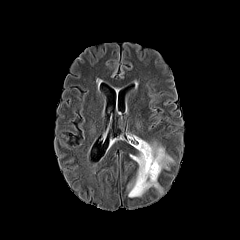
FLAIR MR image.
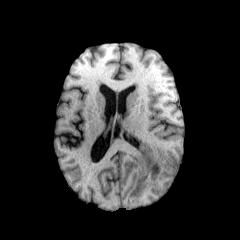
T1-weighted magnetic resonance of the same slice.
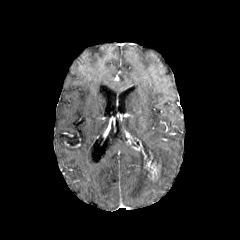
Post-contrast T1-weighted MR image.
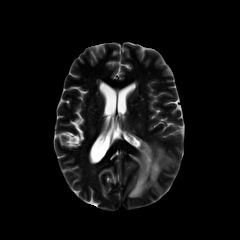
T2-weighted magnetic resonance.
Brain, 240x240
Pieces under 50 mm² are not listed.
{"peritumoral_edema": ["[125, 138, 173, 197]"], "enhancing_tumor": ["[135, 137, 159, 179]"]}